FLAIR magnetic resonance.
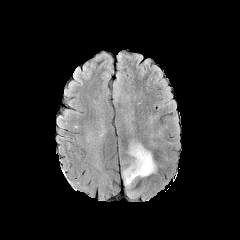
T1-weighted MRI.
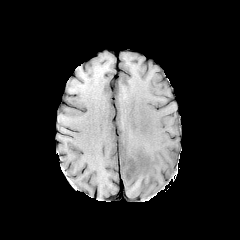
Post-contrast T1-weighted MR.
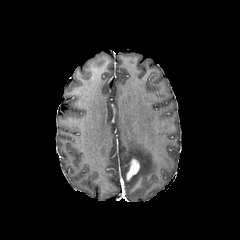
T2-weighted MRI.
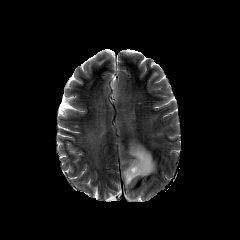
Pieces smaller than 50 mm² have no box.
peritumoral edema at 121, 140, 156, 188
enhancing tumor at 126, 159, 139, 180